Axial slice, Brain, Slice index 109
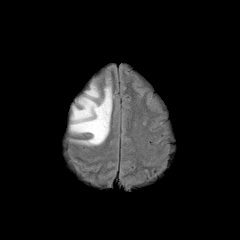
FLAIR MRI.
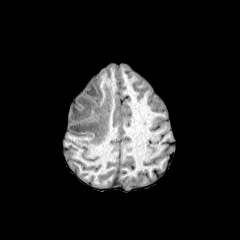
T1-weighted magnetic resonance.
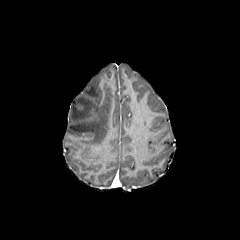
Post-contrast T1-weighted MR.
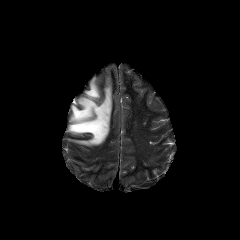
T2-weighted magnetic resonance.
peritumoral edema at rect(69, 78, 112, 145)